FLAIR MRI.
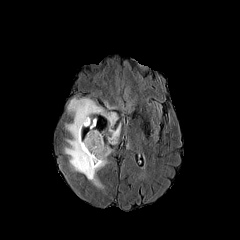
T1-weighted MR.
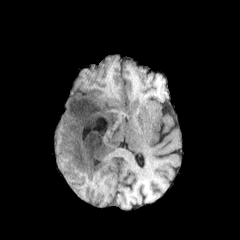
Post-contrast T1-weighted MR image.
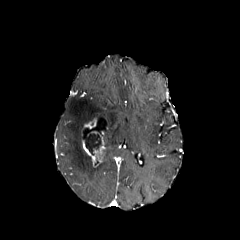
T2-weighted MR.
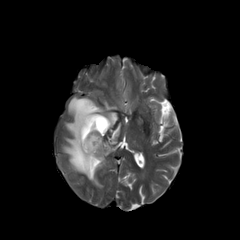
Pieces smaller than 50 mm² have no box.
{
  "necrotic_tumor_core": [
    "x1=84, y1=131, x2=101, y2=155"
  ],
  "peritumoral_edema": [
    "x1=64, y1=97, x2=120, y2=190",
    "x1=104, y1=100, x2=117, y2=109"
  ],
  "enhancing_tumor": [
    "x1=82, y1=131, x2=105, y2=167",
    "x1=84, y1=118, x2=96, y2=128"
  ]
}